Axial slice.
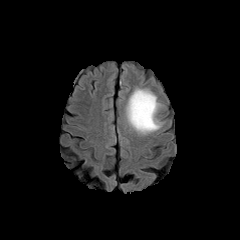
FLAIR MR image.
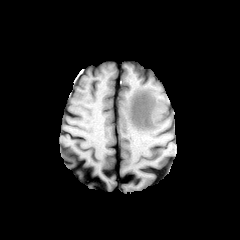
T1-weighted MRI.
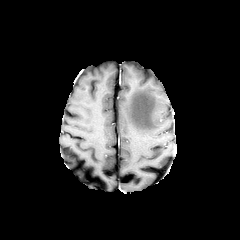
Post-contrast T1-weighted MR image.
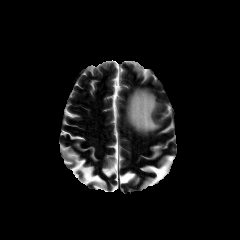
T2-weighted MR.
<segmentation>
  <peritumoral_edema>[126,88,161,134]</peritumoral_edema>
</segmentation>